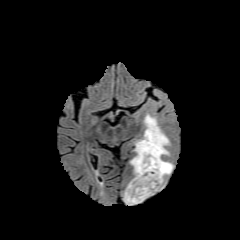
FLAIR MR.
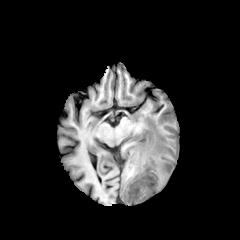
T1-weighted MR.
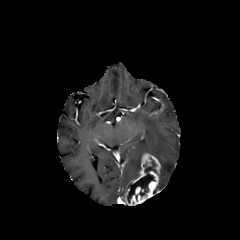
Post-contrast T1-weighted MRI.
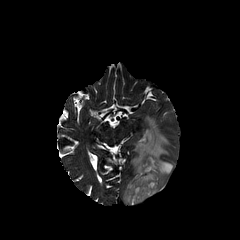
Same slice, T2-weighted magnetic resonance.
Head
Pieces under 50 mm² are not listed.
enhancing_tumor:
  - 124:153:160:205
necrotic_tumor_core:
  - 127:160:156:202
peritumoral_edema:
  - 130:115:173:190